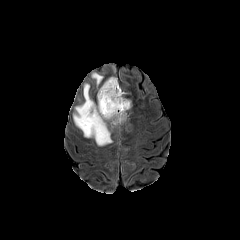
FLAIR magnetic resonance.
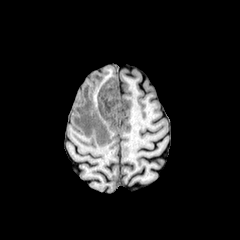
T1-weighted magnetic resonance of the same slice.
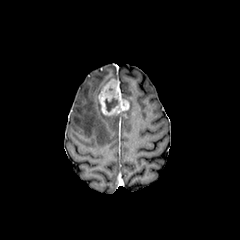
Post-contrast T1-weighted MR.
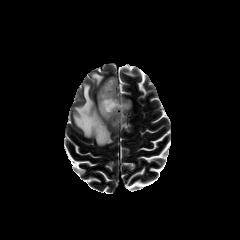
T2-weighted MR.
Image size 240x240; Head; Axial view
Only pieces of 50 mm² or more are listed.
{"enhancing_tumor": ["<bbox>98, 79, 129, 115</bbox>"], "peritumoral_edema": ["<bbox>92, 73, 103, 85</bbox>", "<bbox>98, 77, 116, 94</bbox>", "<bbox>73, 84, 123, 145</bbox>"], "necrotic_tumor_core": ["<bbox>105, 97, 118, 111</bbox>"]}